FLAIR MR image.
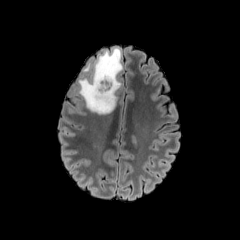
T1-weighted MR.
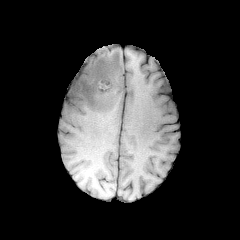
Post-contrast T1-weighted MR.
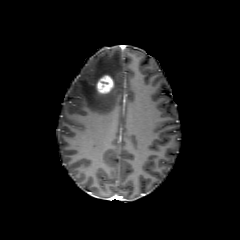
T2-weighted MRI.
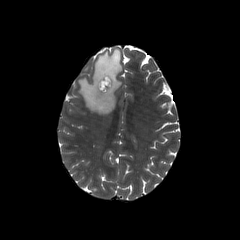
240x240
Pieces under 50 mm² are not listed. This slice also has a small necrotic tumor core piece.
The enhancing tumor is at box=[96, 75, 114, 94]. The peritumoral edema is located at box=[75, 47, 122, 114].